Slice 64/155; Axial plane
FLAIR MR.
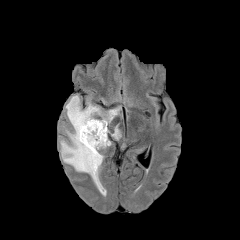
T1-weighted magnetic resonance.
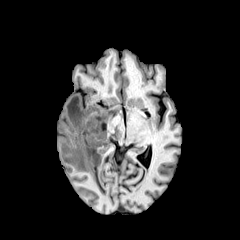
Post-contrast T1-weighted MR image.
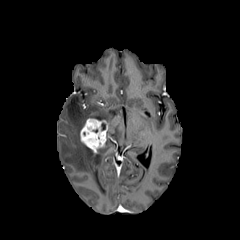
T2-weighted magnetic resonance.
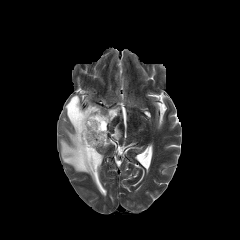
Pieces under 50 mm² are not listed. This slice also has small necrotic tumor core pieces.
Annotated regions:
* enhancing tumor: [80, 118, 107, 153]
* peritumoral edema: [60, 95, 119, 189], [111, 126, 121, 139]